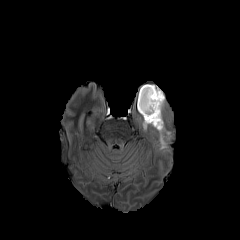
FLAIR MR.
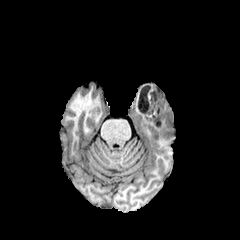
T1-weighted MRI of the same slice.
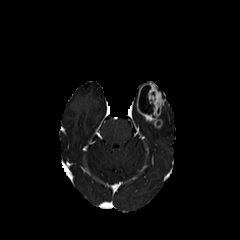
Post-contrast T1-weighted magnetic resonance.
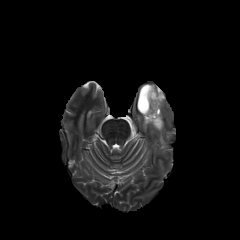
Same slice, T2-weighted MR image.
Brain, Axial plane
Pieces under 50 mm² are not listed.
{"peritumoral_edema": ["(left=142, top=118, right=170, bottom=150)"], "necrotic_tumor_core": ["(left=139, top=85, right=153, bottom=114)"], "enhancing_tumor": ["(left=137, top=82, right=165, bottom=128)"]}